Head. Image width 240 mm. Axial view. Slice 118/155.
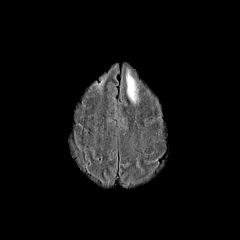
FLAIR MRI.
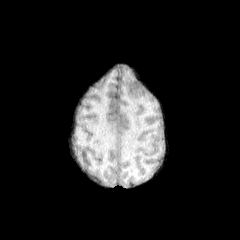
T1-weighted MRI.
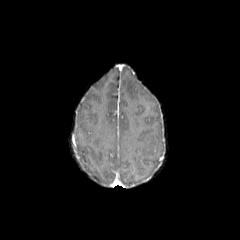
Post-contrast T1-weighted MRI of the same slice.
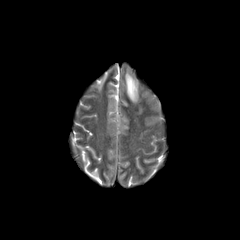
T2-weighted MR of the same slice.
peritumoral edema: rect(126, 67, 139, 103)